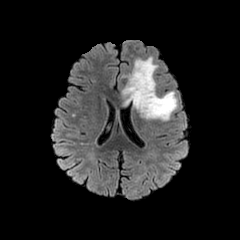
FLAIR MRI.
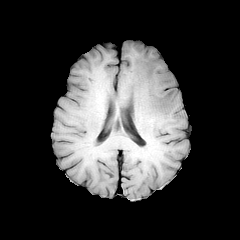
T1-weighted magnetic resonance of the same slice.
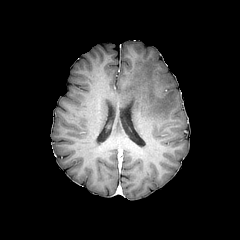
Post-contrast T1-weighted MR.
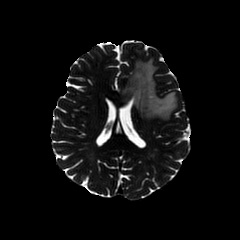
T2-weighted magnetic resonance.
Axial view
The peritumoral edema appears at [122,57,177,120].